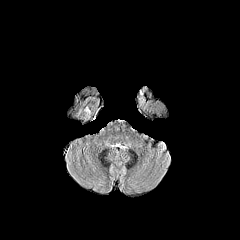
FLAIR MR image.
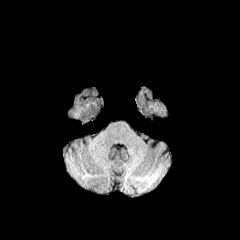
Same slice, T1-weighted MR.
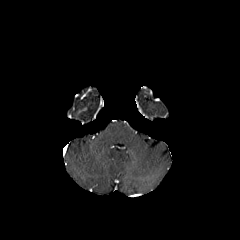
Post-contrast T1-weighted MR image.
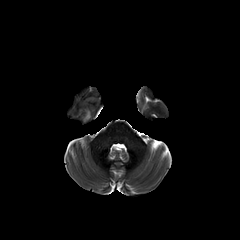
T2-weighted magnetic resonance.
Axial view. 240x240 px.
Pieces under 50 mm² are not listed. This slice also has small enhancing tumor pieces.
peritumoral edema at {"x1": 84, "y1": 107, "x2": 90, "y2": 119}